Slice index 86, Axial plane
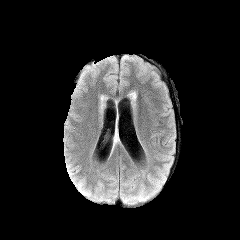
FLAIR MRI.
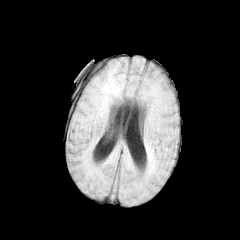
T1-weighted MRI.
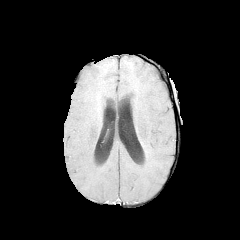
Post-contrast T1-weighted magnetic resonance of the same slice.
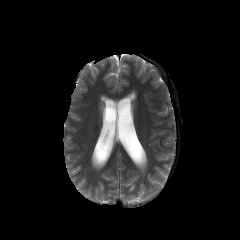
T2-weighted MR image.
The peritumoral edema appears at left=113, top=128, right=120, bottom=147.